FLAIR magnetic resonance.
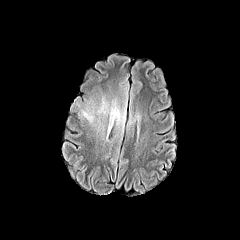
T1-weighted MRI.
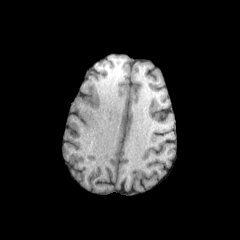
Post-contrast T1-weighted MR.
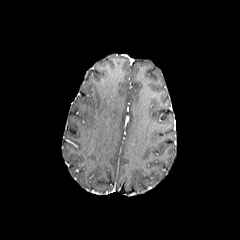
T2-weighted MR.
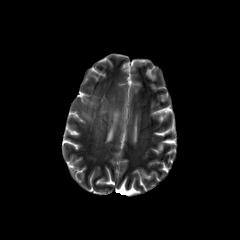
Head
peritumoral edema = l=98, t=100, r=125, b=129; l=82, t=110, r=94, b=123